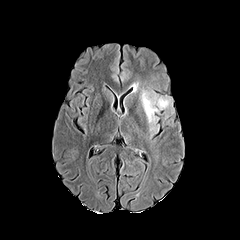
FLAIR MRI.
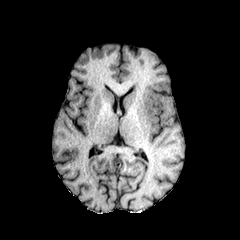
T1-weighted magnetic resonance of the same slice.
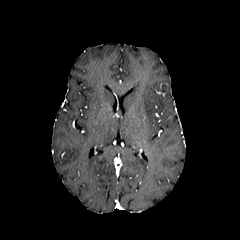
Post-contrast T1-weighted MRI of the same slice.
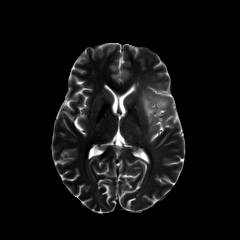
T2-weighted MRI of the same slice.
Brain. Axial plane.
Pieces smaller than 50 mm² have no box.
The largest peritumoral edema region lies within <box>141,91,168,123</box>.